Brain.
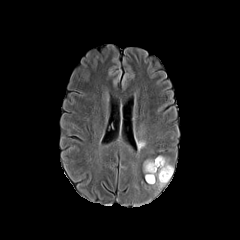
FLAIR magnetic resonance.
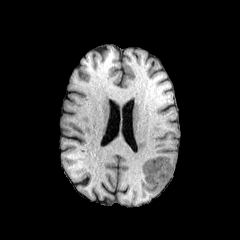
T1-weighted MR.
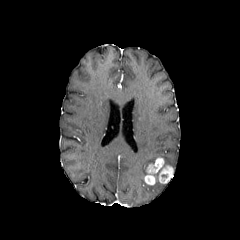
Post-contrast T1-weighted MRI.
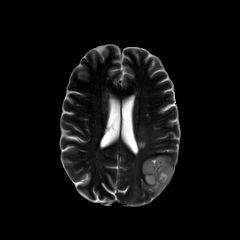
T2-weighted magnetic resonance.
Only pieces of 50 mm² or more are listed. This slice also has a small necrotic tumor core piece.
enhancing tumor = <bbox>145, 157, 173, 184</bbox>
peritumoral edema = <bbox>157, 156, 173, 167</bbox>, <bbox>143, 158, 156, 175</bbox>, <bbox>137, 141, 145, 150</bbox>, <bbox>150, 178, 165, 193</bbox>